Image size 240x240, Axial plane, Slice 43/155
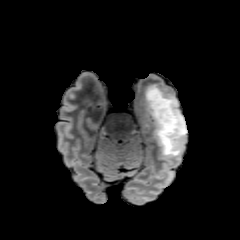
FLAIR MRI.
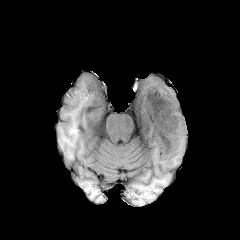
T1-weighted magnetic resonance.
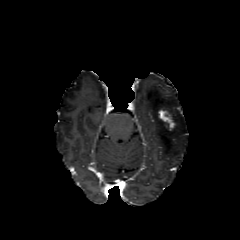
Same slice, post-contrast T1-weighted MRI.
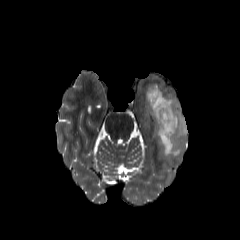
T2-weighted magnetic resonance.
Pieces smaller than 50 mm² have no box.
peritumoral edema = x1=145, y1=85, x2=187, y2=160
enhancing tumor = x1=158, y1=109, x2=175, y2=130